FLAIR MR image.
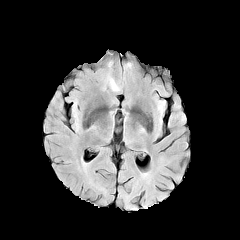
T1-weighted MRI.
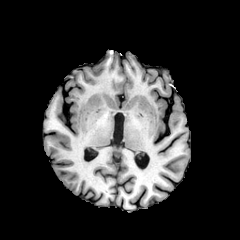
Post-contrast T1-weighted MR image.
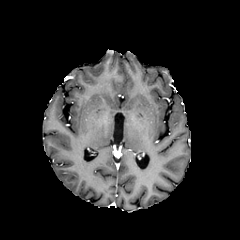
T2-weighted MR image.
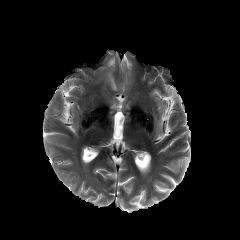
240x240, Axial slice
peritumoral edema: box=[107, 75, 119, 91]